FLAIR MRI.
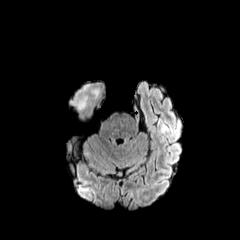
T1-weighted MR.
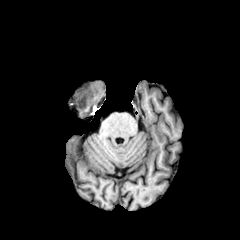
Post-contrast T1-weighted MR.
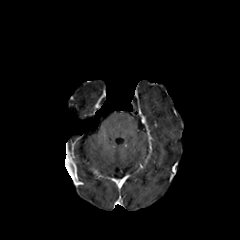
T2-weighted magnetic resonance.
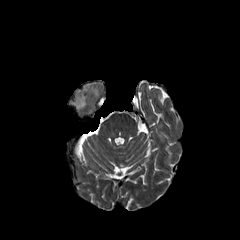
Brain
peritumoral edema at l=70, t=84, r=100, b=110